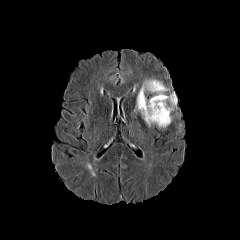
FLAIR MR.
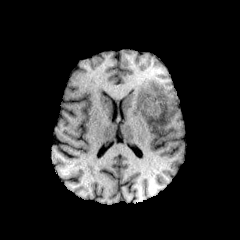
T1-weighted MR.
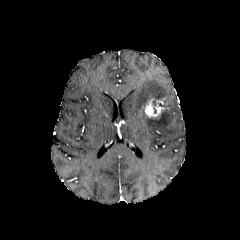
Post-contrast T1-weighted MRI of the same slice.
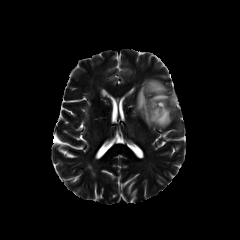
T2-weighted magnetic resonance.
Axial plane, 240x240
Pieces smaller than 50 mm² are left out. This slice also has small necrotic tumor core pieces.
Findings:
- peritumoral edema: 134, 79, 176, 128
- enhancing tumor: 141, 97, 169, 118